Brain, Image size 240x240, Image width 240 mm
FLAIR MRI.
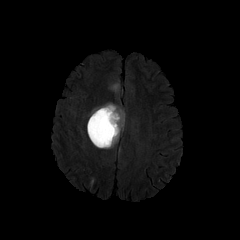
T1-weighted MRI.
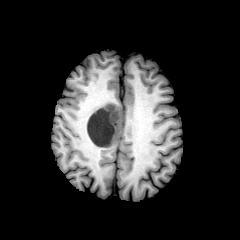
Post-contrast T1-weighted magnetic resonance.
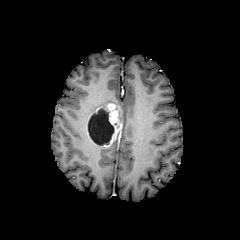
T2-weighted magnetic resonance.
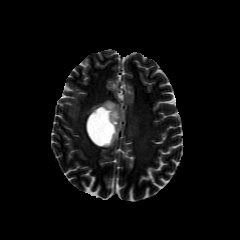
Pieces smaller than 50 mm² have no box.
{"enhancing_tumor": ["box(95, 103, 122, 147)"], "necrotic_tumor_core": ["box(87, 109, 114, 145)"], "peritumoral_edema": ["box(96, 133, 119, 148)", "box(120, 107, 125, 129)"]}